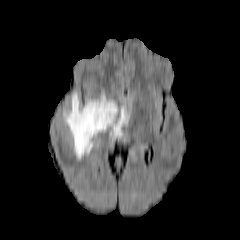
FLAIR MR image.
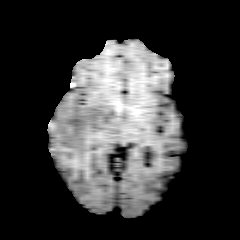
T1-weighted MR.
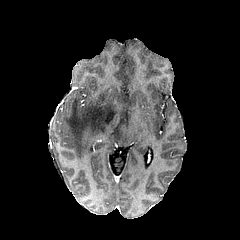
Post-contrast T1-weighted MR image of the same slice.
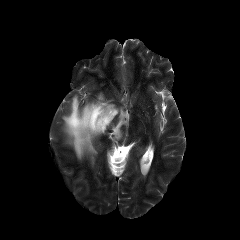
T2-weighted magnetic resonance.
Image size 240x240, Brain
{"peritumoral_edema": ["box(63, 93, 128, 159)"]}